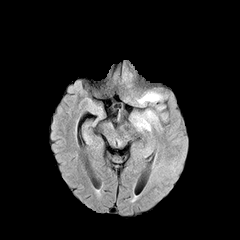
FLAIR MRI.
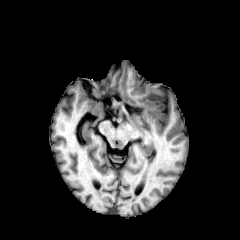
T1-weighted magnetic resonance.
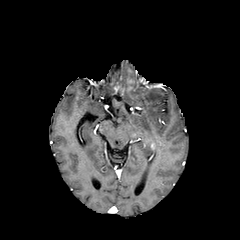
Same slice, post-contrast T1-weighted MR image.
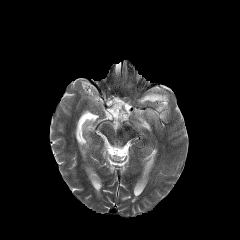
T2-weighted MRI.
Image size 240x240. Axial plane.
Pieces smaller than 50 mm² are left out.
peritumoral edema: [134, 110, 157, 130], [137, 92, 163, 104]